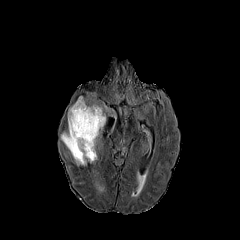
FLAIR MR.
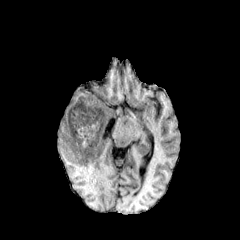
Same slice, T1-weighted magnetic resonance.
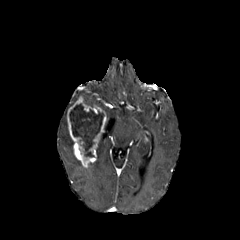
Post-contrast T1-weighted magnetic resonance.
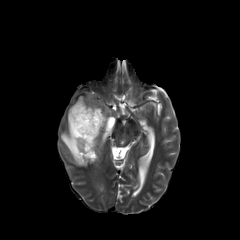
T2-weighted magnetic resonance of the same slice.
240x240 px, Brain
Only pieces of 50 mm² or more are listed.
peritumoral edema = (x1=60, y1=130, x2=81, y2=165)
enhancing tumor = (x1=67, y1=96, x2=107, y2=166)
necrotic tumor core = (x1=69, y1=103, x2=104, y2=157)